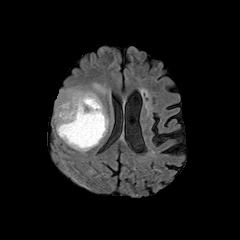
FLAIR MR.
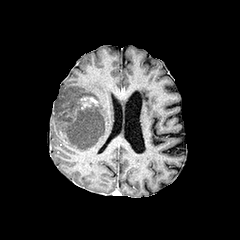
Same slice, T1-weighted MR image.
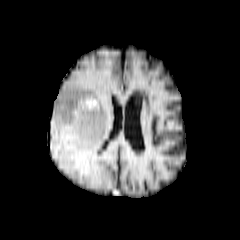
Post-contrast T1-weighted MR image of the same slice.
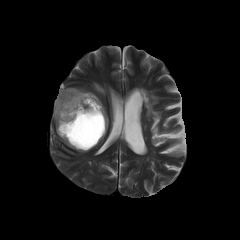
T2-weighted magnetic resonance.
Brain
The necrotic tumor core lies within l=64, t=107, r=104, b=147. The peritumoral edema appears at l=54, t=82, r=108, b=152. The enhancing tumor lies within l=80, t=95, r=98, b=110.